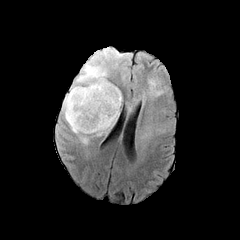
FLAIR MR.
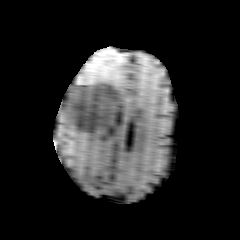
T1-weighted MR of the same slice.
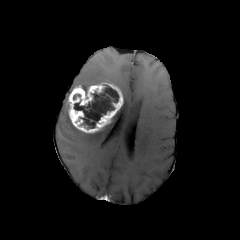
Post-contrast T1-weighted MRI of the same slice.
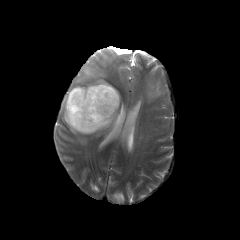
T2-weighted MR.
Head
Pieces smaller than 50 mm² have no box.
- necrotic tumor core: <box>74,87,118,127</box>
- enhancing tumor: <box>67,81,123,133</box>
- peritumoral edema: <box>67,63,106,93</box>, <box>61,95,121,144</box>